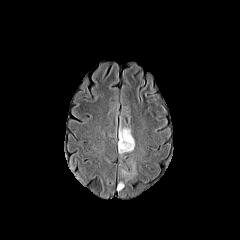
FLAIR MRI.
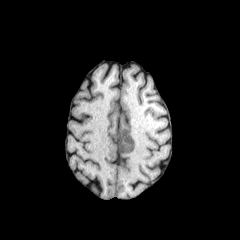
Same slice, T1-weighted MRI.
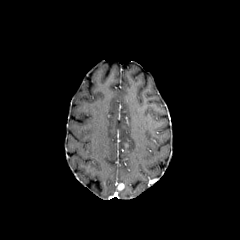
Same slice, post-contrast T1-weighted MRI.
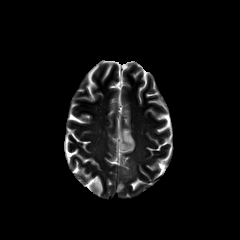
T2-weighted MRI.
Axial plane. Head.
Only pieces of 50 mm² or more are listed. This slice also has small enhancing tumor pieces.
{
  "peritumoral_edema": [
    "bbox(121, 160, 136, 180)",
    "bbox(117, 126, 135, 155)"
  ]
}